Head. Axial plane.
FLAIR MRI.
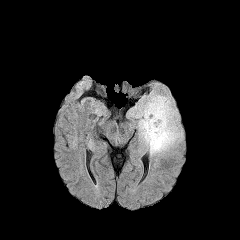
T1-weighted MRI.
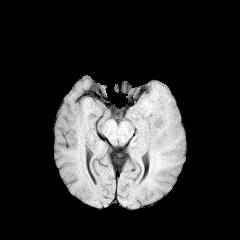
Post-contrast T1-weighted MR.
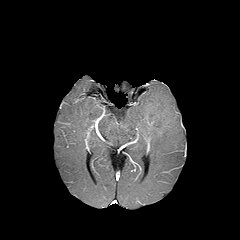
T2-weighted MR image.
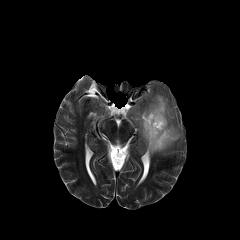
The peritumoral edema is bounded by <bbox>130, 93, 182, 155</bbox>.